FLAIR MR.
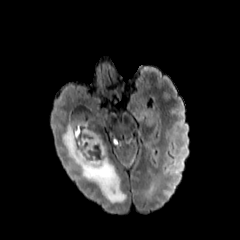
T1-weighted magnetic resonance.
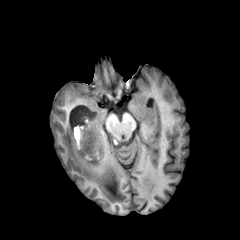
Post-contrast T1-weighted magnetic resonance.
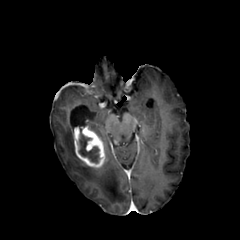
T2-weighted MRI.
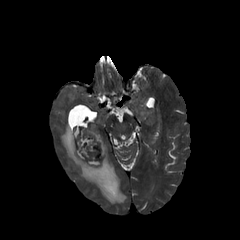
Axial view
The enhancing tumor lies within x1=73, y1=126, x2=105, y2=168. The peritumoral edema is located at x1=62, y1=123, x2=125, y2=203. The necrotic tumor core is at x1=79, y1=129, x2=99, y2=162.